FLAIR MRI.
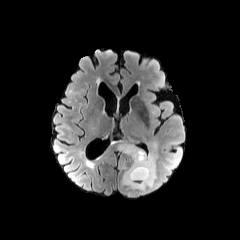
T1-weighted magnetic resonance.
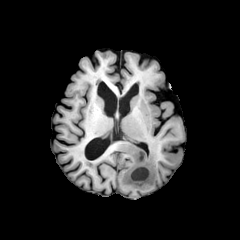
Post-contrast T1-weighted magnetic resonance.
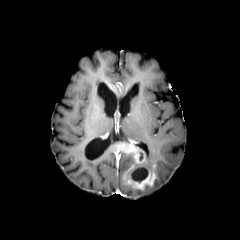
T2-weighted MR image.
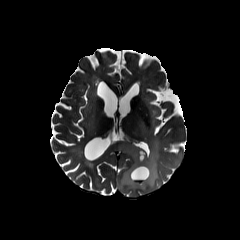
Image size 240x240
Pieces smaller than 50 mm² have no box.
<segmentation>
  <enhancing_tumor>114 142 156 189</enhancing_tumor>
  <necrotic_tumor_core>131 167 148 182</necrotic_tumor_core>
  <peritumoral_edema>146 141 157 168, 120 167 161 197</peritumoral_edema>
</segmentation>